FLAIR MR.
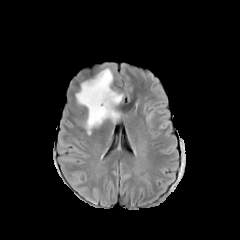
T1-weighted MR image.
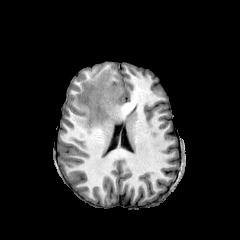
Post-contrast T1-weighted MR.
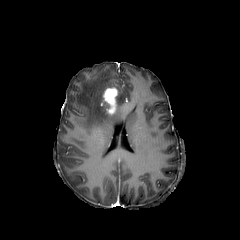
T2-weighted magnetic resonance.
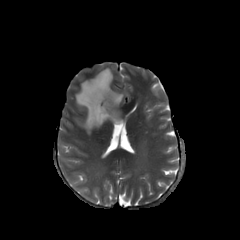
Head
enhancing_tumor:
  - region(102, 87, 118, 114)
peritumoral_edema:
  - region(116, 94, 123, 105)
  - region(76, 68, 120, 133)